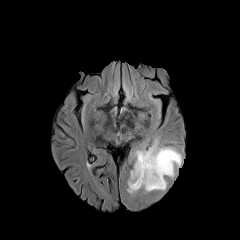
FLAIR MRI.
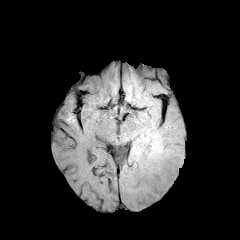
T1-weighted MRI.
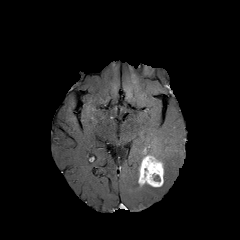
Same slice, post-contrast T1-weighted MR image.
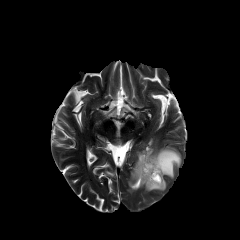
T2-weighted MRI.
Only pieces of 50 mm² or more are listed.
The largest necrotic tumor core region is at bbox=[153, 174, 160, 181]. The peritumoral edema is bounded by bbox=[127, 141, 182, 193]. The largest enhancing tumor region is at bbox=[138, 155, 164, 187].